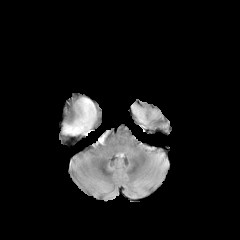
FLAIR magnetic resonance.
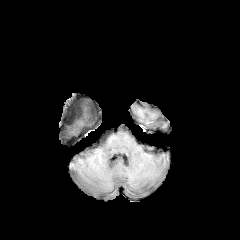
T1-weighted magnetic resonance of the same slice.
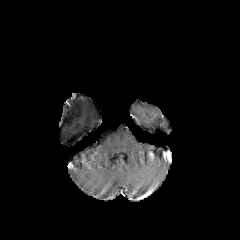
Post-contrast T1-weighted magnetic resonance.
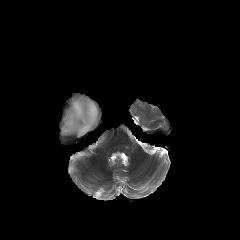
T2-weighted magnetic resonance of the same slice.
Head. Axial plane.
The peritumoral edema is located at 63, 97, 98, 134.